Brain
FLAIR MR image.
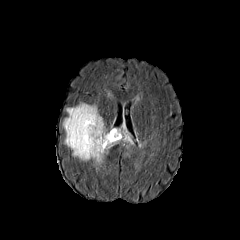
T1-weighted MR.
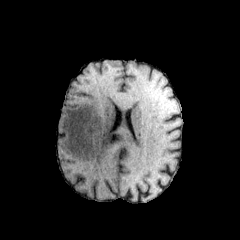
Post-contrast T1-weighted MRI.
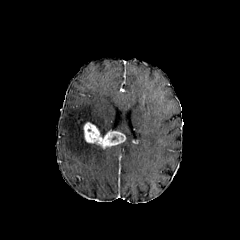
T2-weighted MR.
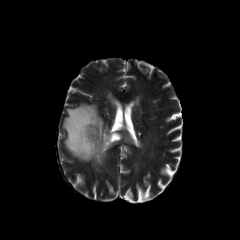
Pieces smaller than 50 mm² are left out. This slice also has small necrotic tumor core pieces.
enhancing tumor — <box>83,122,125,148</box>
peritumoral edema — <box>112,123,134,149</box>, <box>63,103,109,171</box>